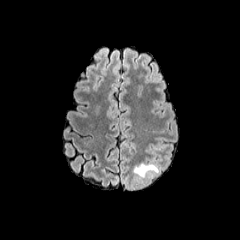
FLAIR MR image.
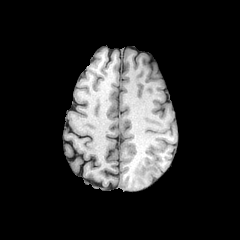
Same slice, T1-weighted MR image.
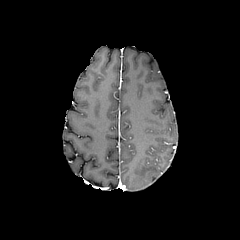
Post-contrast T1-weighted MR image.
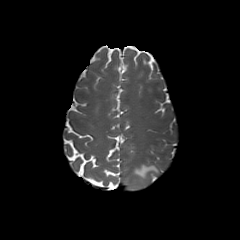
T2-weighted MR image.
Segmented structures:
• peritumoral edema: rect(133, 163, 158, 177)